Axial view
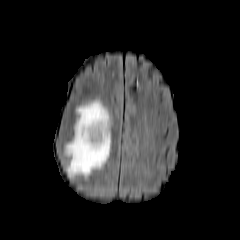
FLAIR MRI.
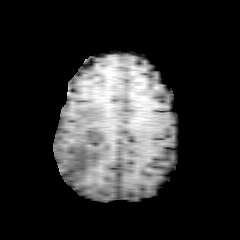
T1-weighted magnetic resonance.
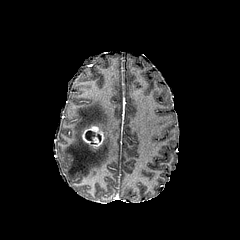
Post-contrast T1-weighted MR image.
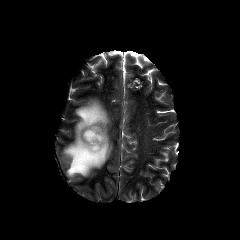
Same slice, T2-weighted magnetic resonance.
The peritumoral edema is bounded by bbox(64, 100, 111, 177). The necrotic tumor core appears at bbox(85, 131, 101, 143). The enhancing tumor is located at bbox(82, 126, 104, 148).